FLAIR magnetic resonance.
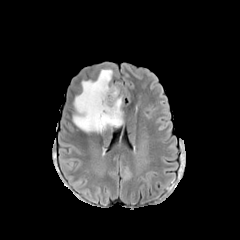
T1-weighted MRI.
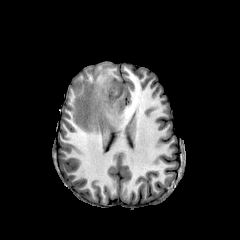
Post-contrast T1-weighted MR image.
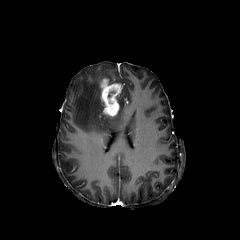
T2-weighted MR.
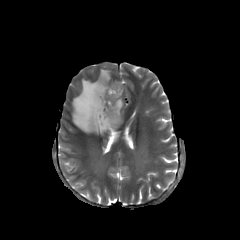
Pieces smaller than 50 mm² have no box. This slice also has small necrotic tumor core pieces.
<segmentation>
  <enhancing_tumor>(x1=100, y1=78, x2=122, y2=116)</enhancing_tumor>
  <peritumoral_edema>(x1=73, y1=69, x2=123, y2=133)</peritumoral_edema>
</segmentation>